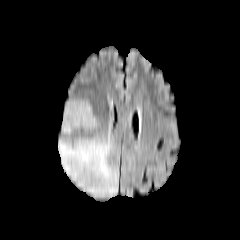
FLAIR magnetic resonance.
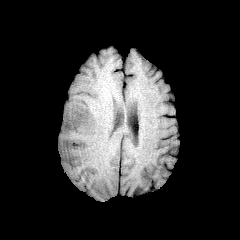
T1-weighted MR.
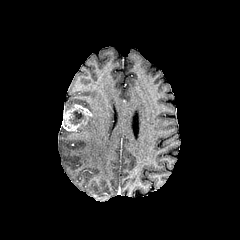
Same slice, post-contrast T1-weighted MR image.
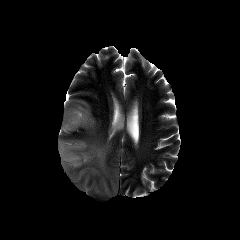
T2-weighted MR.
Head
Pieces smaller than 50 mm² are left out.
The enhancing tumor is at 62 104 92 131. The largest necrotic tumor core region is at 69 110 85 124. The 3 largest peritumoral edema regions are bounded by 58 124 117 198, 63 100 91 112, 78 116 97 130.